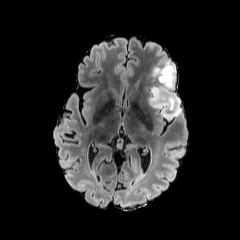
FLAIR MR.
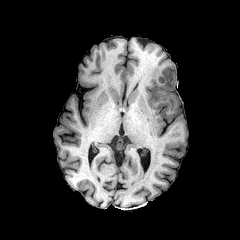
T1-weighted MR image.
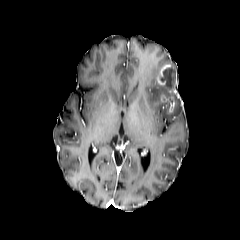
Post-contrast T1-weighted MRI.
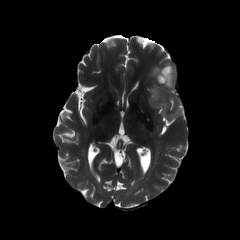
T2-weighted MR.
Axial plane, Brain
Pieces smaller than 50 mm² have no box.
peritumoral edema: 149:65:181:119 | enhancing tumor: 158:64:176:87, 161:95:175:111 | necrotic tumor core: 161:68:174:86